FLAIR MR image.
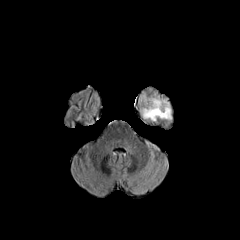
T1-weighted MRI.
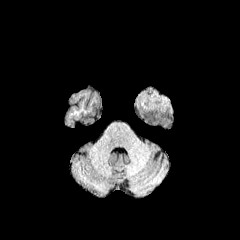
Post-contrast T1-weighted MR.
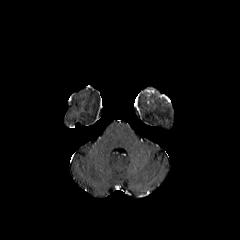
T2-weighted MR.
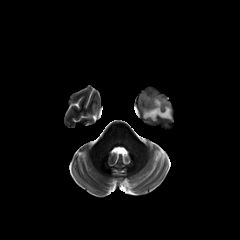
Head | Axial slice
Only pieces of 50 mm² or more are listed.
peritumoral edema — [142,98,171,121]